Slice 110/155 | Axial plane | Brain
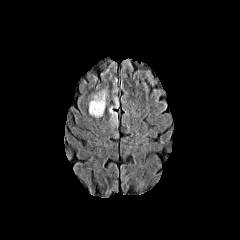
FLAIR MRI.
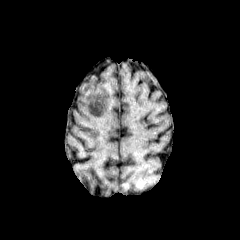
Same slice, T1-weighted magnetic resonance.
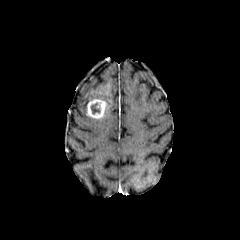
Post-contrast T1-weighted MR image.
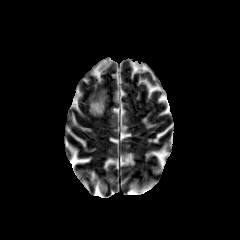
Same slice, T2-weighted magnetic resonance.
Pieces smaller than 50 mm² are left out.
Findings:
- peritumoral edema: {"x1": 109, "y1": 97, "x2": 118, "y2": 126}, {"x1": 92, "y1": 89, "x2": 107, "y2": 100}
- enhancing tumor: {"x1": 87, "y1": 97, "x2": 107, "y2": 118}
- necrotic tumor core: {"x1": 91, "y1": 103, "x2": 99, "y2": 113}